Image width 240 mm, 1.00 mm slice spacing; Image size 240x240; Head; Axial view
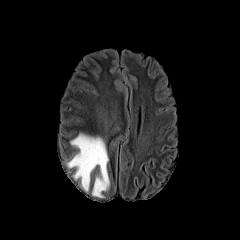
FLAIR MR.
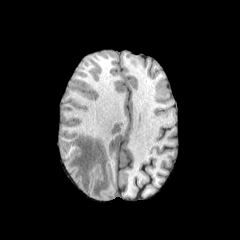
T1-weighted MRI of the same slice.
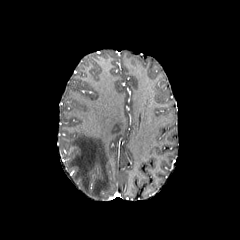
Post-contrast T1-weighted MR image.
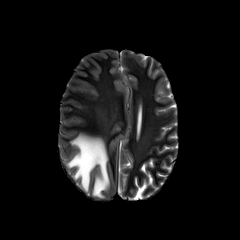
T2-weighted MR of the same slice.
peritumoral edema: bounding box [67,133,109,197]